FLAIR MR.
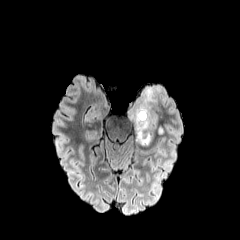
T1-weighted magnetic resonance.
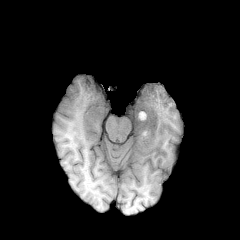
Post-contrast T1-weighted MR.
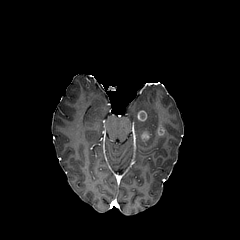
T2-weighted MR image.
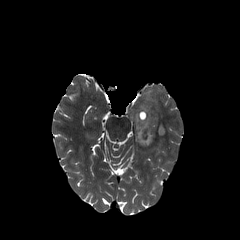
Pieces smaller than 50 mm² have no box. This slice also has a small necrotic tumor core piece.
3 enhancing tumor regions are located at (141,132,150,141), (137,110,147,121), (157,127,164,135). The peritumoral edema lies within (132,105,157,144).